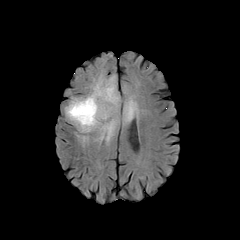
FLAIR MRI.
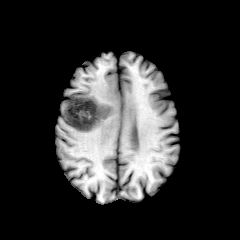
T1-weighted magnetic resonance.
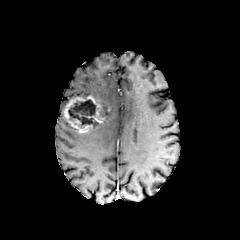
Post-contrast T1-weighted MR image of the same slice.
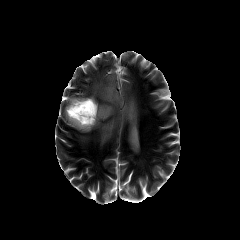
T2-weighted magnetic resonance.
Axial slice
The necrotic tumor core is at x1=68, y1=99, x2=97, y2=126. The enhancing tumor is at x1=64, y1=95, x2=104, y2=132. 3 peritumoral edema regions are located at x1=77, y1=134, x2=88, y2=142; x1=77, y1=74, x2=120, y2=142; x1=122, y1=96, x2=138, y2=124.